FLAIR MRI.
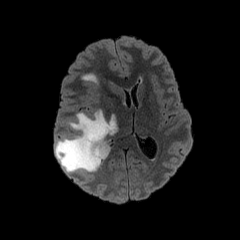
T1-weighted MRI.
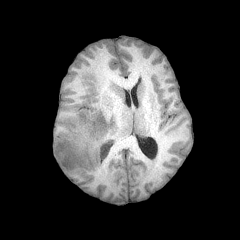
Post-contrast T1-weighted magnetic resonance.
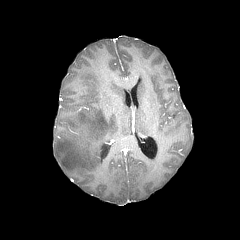
T2-weighted MRI.
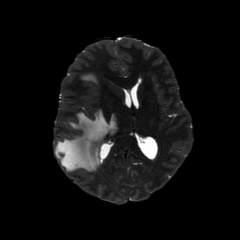
Axial view, Head
peritumoral edema = box(81, 73, 97, 83); box(55, 109, 117, 172)